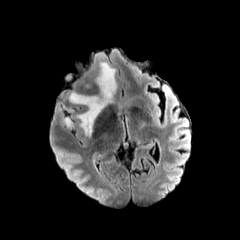
FLAIR magnetic resonance.
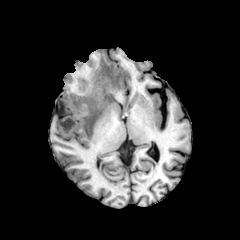
T1-weighted MR image.
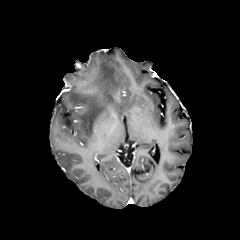
Same slice, post-contrast T1-weighted MRI.
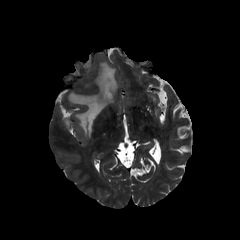
Same slice, T2-weighted MR.
Brain
Segmented structures:
- peritumoral edema: [64, 118, 71, 127], [69, 62, 117, 136]